FLAIR magnetic resonance.
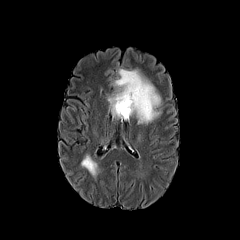
T1-weighted MR.
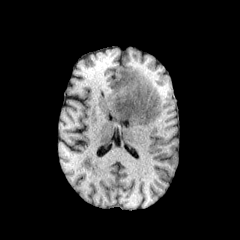
Post-contrast T1-weighted MR.
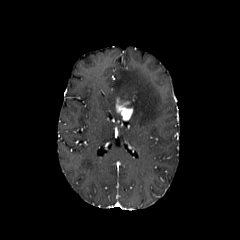
T2-weighted MR image.
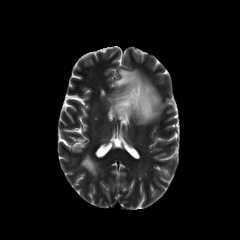
Head | Image size 240x240
peritumoral_edema:
  - x1=106 y1=67 x2=162 y2=126
  - x1=79 y1=153 x2=99 y2=178
enhancing_tumor:
  - x1=115 y1=98 x2=133 y2=120